240x240 px; Brain; Axial slice
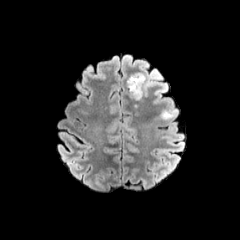
FLAIR magnetic resonance.
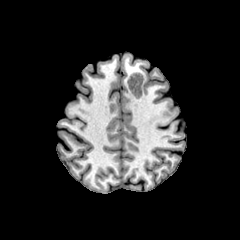
T1-weighted magnetic resonance.
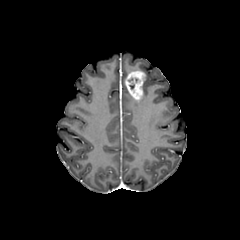
Same slice, post-contrast T1-weighted MRI.
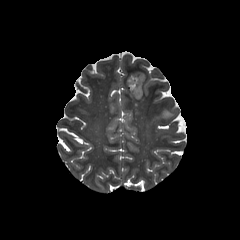
T2-weighted MR.
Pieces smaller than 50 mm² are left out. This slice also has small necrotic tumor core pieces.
enhancing tumor: box(125, 71, 144, 99) | peritumoral edema: box(142, 74, 153, 94); box(156, 111, 170, 120)